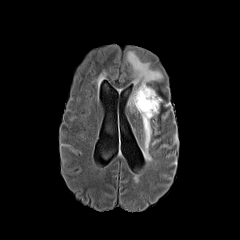
FLAIR MR.
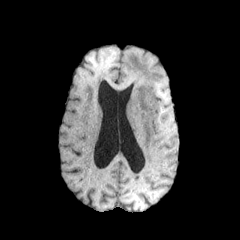
Same slice, T1-weighted magnetic resonance.
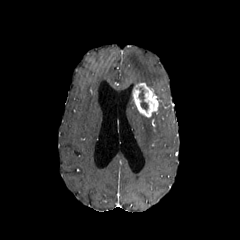
Post-contrast T1-weighted MR.
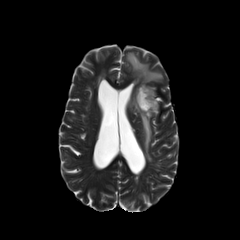
T2-weighted MRI.
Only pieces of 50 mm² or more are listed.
The enhancing tumor appears at box(132, 83, 160, 117). The necrotic tumor core is located at box(139, 87, 148, 111). The 3 largest peritumoral edema regions appear at box(140, 112, 155, 161); box(128, 93, 138, 112); box(127, 51, 162, 85).